FLAIR MR image.
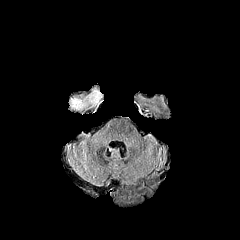
T1-weighted MR.
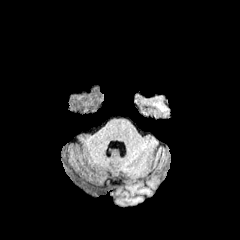
Post-contrast T1-weighted magnetic resonance.
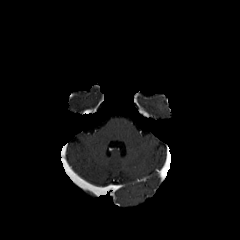
T2-weighted MRI.
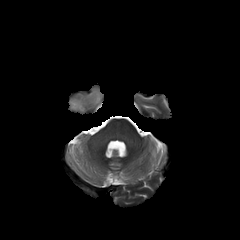
Axial slice
<segmentation>
  <peritumoral_edema>left=70, top=89, right=100, bottom=109</peritumoral_edema>
</segmentation>